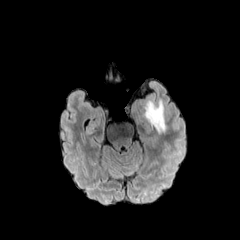
FLAIR MR.
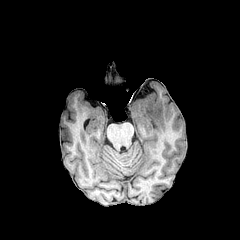
Same slice, T1-weighted MRI.
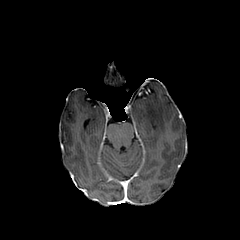
Post-contrast T1-weighted MR of the same slice.
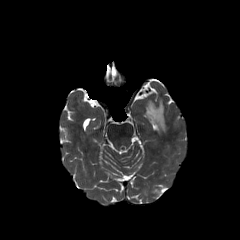
T2-weighted MR image of the same slice.
Axial view
peritumoral edema: bounding box bbox=[145, 100, 165, 133]